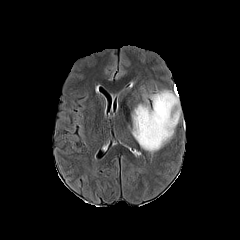
FLAIR MR image.
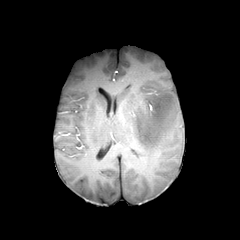
T1-weighted MR image.
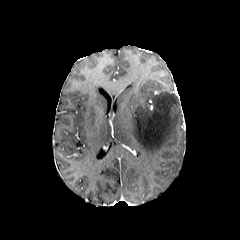
Post-contrast T1-weighted MR image.
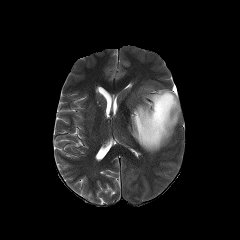
Same slice, T2-weighted MRI.
peritumoral edema: region(132, 90, 180, 152)